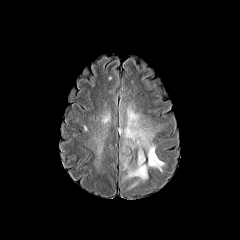
FLAIR MR.
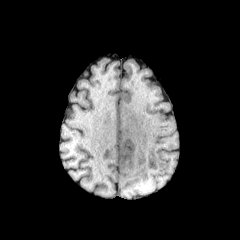
Same slice, T1-weighted MR.
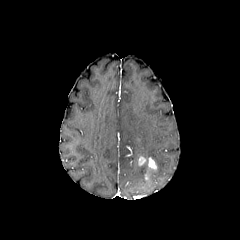
Post-contrast T1-weighted magnetic resonance.
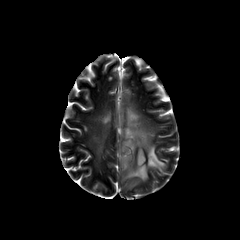
T2-weighted MR image of the same slice.
Axial slice; 240x240 px; Head
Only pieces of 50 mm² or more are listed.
Findings:
* enhancing tumor: rect(148, 157, 156, 169); rect(138, 156, 145, 165)
* peritumoral edema: rect(85, 99, 116, 174); rect(118, 92, 166, 190)